FLAIR MRI.
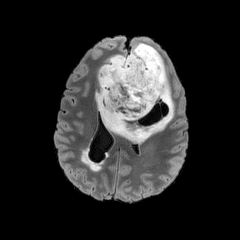
T1-weighted MR image.
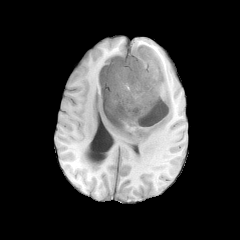
Post-contrast T1-weighted MR image.
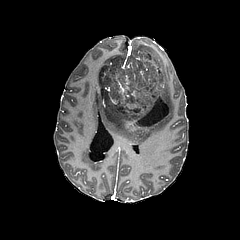
T2-weighted MR image.
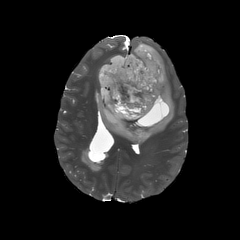
Axial slice, Brain
necrotic tumor core: x1=100, y1=51, x2=171, y2=127
peritumoral edema: x1=95, y1=42, x2=174, y2=142